Slice 66 of 155; Brain; 240x240 px
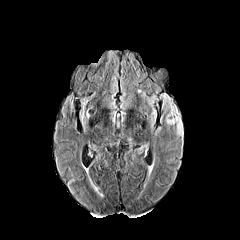
FLAIR MRI.
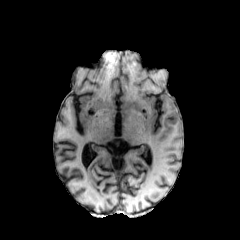
T1-weighted magnetic resonance.
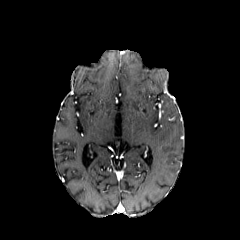
Post-contrast T1-weighted MR image of the same slice.
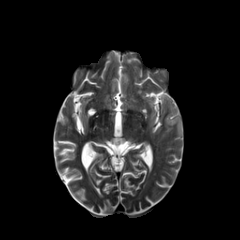
T2-weighted MRI.
The peritumoral edema is located at {"x1": 163, "y1": 95, "x2": 182, "y2": 135}.